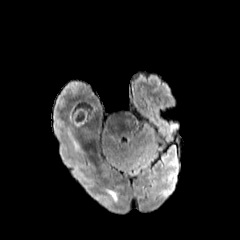
FLAIR MR image.
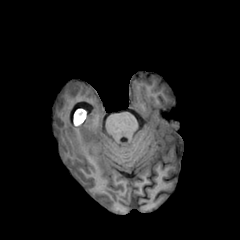
T1-weighted MR image of the same slice.
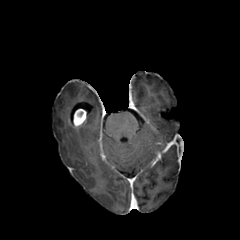
Same slice, post-contrast T1-weighted MRI.
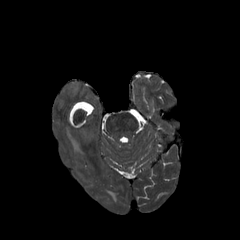
Same slice, T2-weighted MRI.
Axial plane. Head.
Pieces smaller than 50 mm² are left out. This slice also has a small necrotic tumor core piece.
{
  "peritumoral_edema": [
    "<bbox>106, 190, 117, 201</bbox>",
    "<bbox>67, 127, 79, 151</bbox>"
  ],
  "enhancing_tumor": [
    "<bbox>73, 109, 86, 125</bbox>"
  ]
}